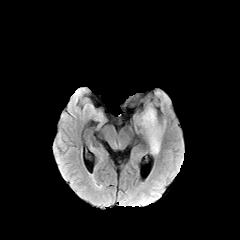
FLAIR MR image.
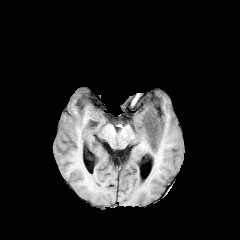
T1-weighted MR.
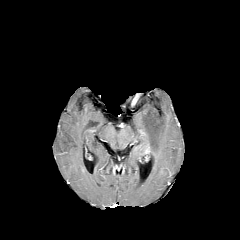
Post-contrast T1-weighted MR of the same slice.
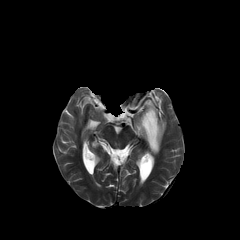
T2-weighted MR image.
Brain
peritumoral edema at 138, 104, 164, 153